Head; Image width 240 mm, 1.00 mm slice spacing
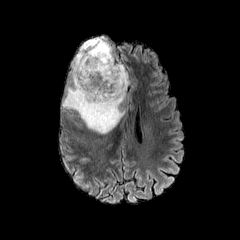
FLAIR MR.
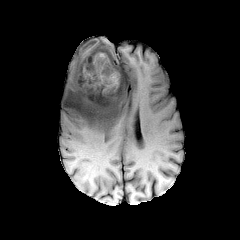
T1-weighted MRI.
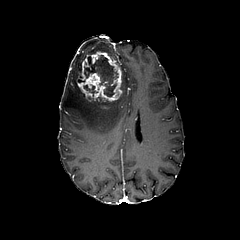
Post-contrast T1-weighted magnetic resonance.
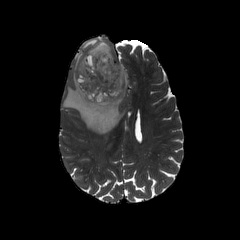
T2-weighted MRI of the same slice.
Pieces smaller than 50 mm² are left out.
- peritumoral edema: (x1=62, y1=36, x2=128, y2=133)
- necrotic tumor core: (x1=84, y1=55, x2=118, y2=96), (x1=83, y1=85, x2=96, y2=93)
- enhancing tumor: (x1=76, y1=51, x2=122, y2=102)